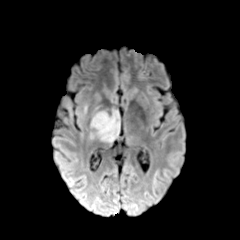
FLAIR MR.
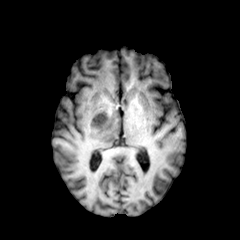
Same slice, T1-weighted MRI.
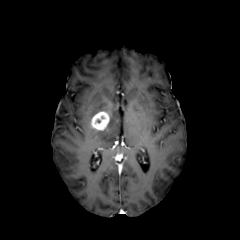
Same slice, post-contrast T1-weighted MRI.
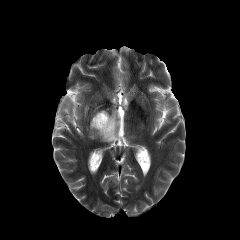
T2-weighted MR.
Brain | Axial plane
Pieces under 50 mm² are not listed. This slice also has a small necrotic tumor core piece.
Segmented structures:
* peritumoral edema: bbox(90, 110, 119, 142)
* enhancing tumor: bbox(90, 111, 109, 130)